FLAIR MR image.
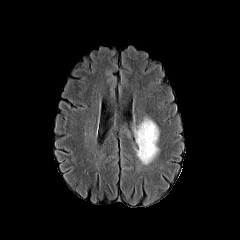
T1-weighted MR image.
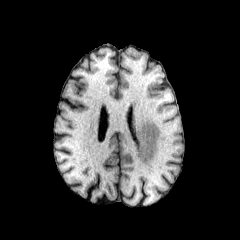
Post-contrast T1-weighted MR image.
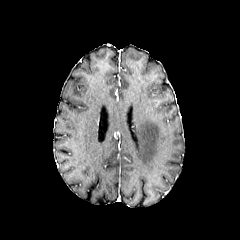
T2-weighted MRI.
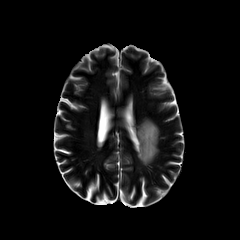
Brain. Axial slice.
Annotated regions:
• peritumoral edema: bbox=[135, 118, 158, 164]